Axial plane | Brain | Image width 240 mm, 1.00 mm slice spacing
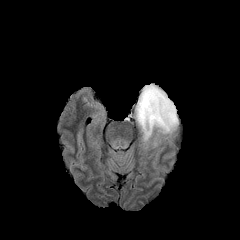
FLAIR MR.
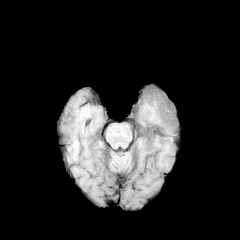
Same slice, T1-weighted magnetic resonance.
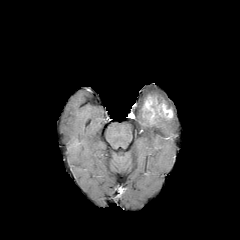
Post-contrast T1-weighted MR.
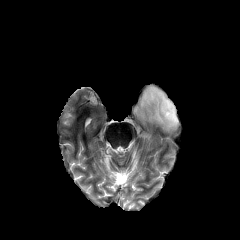
T2-weighted MR of the same slice.
peritumoral edema: <bbox>135, 84, 178, 141</bbox>
enhancing tumor: <bbox>143, 96, 173, 123</bbox>